Image size 240x240
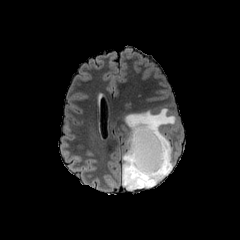
FLAIR magnetic resonance.
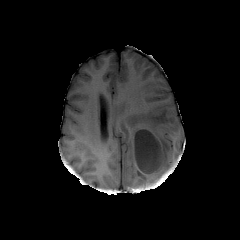
Same slice, T1-weighted MR.
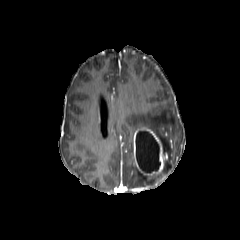
Post-contrast T1-weighted MR image.
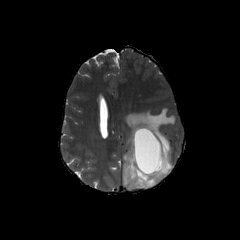
T2-weighted MRI.
Findings:
- peritumoral edema: x1=122, y1=108, x2=176, y2=190
- enhancing tumor: x1=133, y1=127, x2=168, y2=175
- necrotic tumor core: x1=135, y1=130, x2=160, y2=173